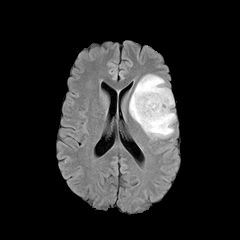
FLAIR MR.
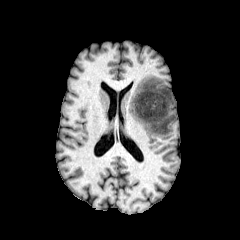
T1-weighted MR of the same slice.
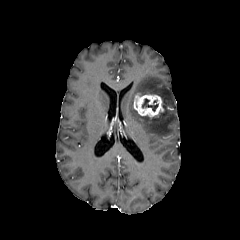
Post-contrast T1-weighted magnetic resonance.
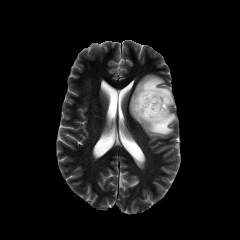
T2-weighted MRI.
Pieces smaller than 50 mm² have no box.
The peritumoral edema is located at box(129, 74, 176, 138). The enhancing tumor is located at box(133, 93, 165, 118). The largest necrotic tumor core region is located at box(142, 98, 158, 111).